FLAIR MRI.
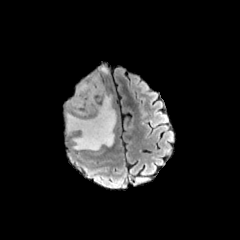
T1-weighted MR image.
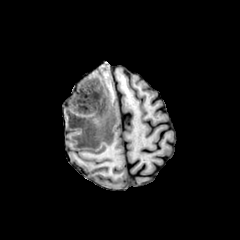
Post-contrast T1-weighted MR.
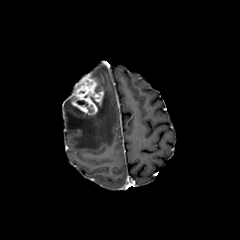
T2-weighted MR.
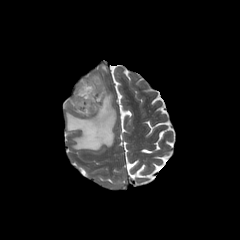
240x240 px | Brain
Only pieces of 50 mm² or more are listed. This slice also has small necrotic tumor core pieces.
peritumoral_edema:
  - box(66, 93, 116, 150)
enhancing_tumor:
  - box(71, 74, 104, 114)